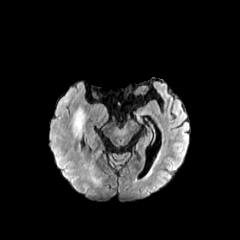
FLAIR MRI.
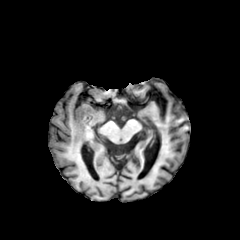
T1-weighted magnetic resonance.
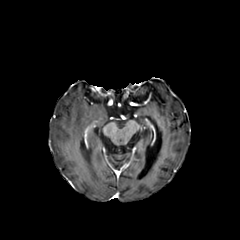
Post-contrast T1-weighted MRI.
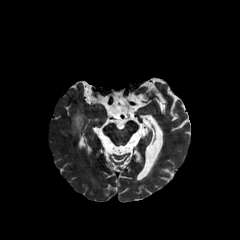
Same slice, T2-weighted magnetic resonance.
Image size 240x240
peritumoral edema — 73:108:85:137